Slice 79/155.
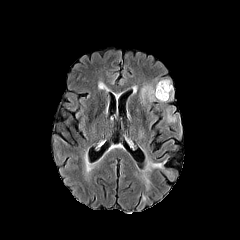
FLAIR MR.
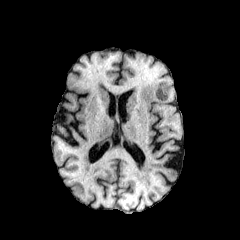
T1-weighted MRI.
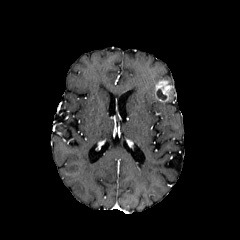
Post-contrast T1-weighted magnetic resonance of the same slice.
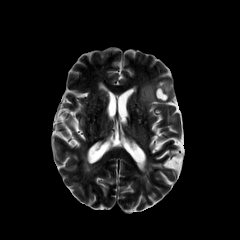
T2-weighted MR.
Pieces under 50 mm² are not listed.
{
  "necrotic_tumor_core": [
    "x1=156 y1=89 x2=166 y2=99"
  ],
  "enhancing_tumor": [
    "x1=154 y1=80 x2=172 y2=102"
  ],
  "peritumoral_edema": [
    "x1=165 y1=109 x2=176 y2=120",
    "x1=140 y1=84 x2=156 y2=101"
  ]
}